Axial slice | Image width 240 mm | Slice 61/155 | Head
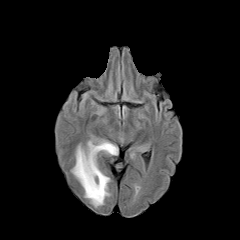
FLAIR MR.
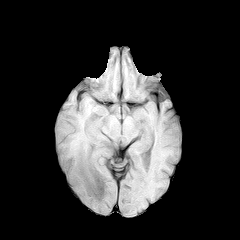
Same slice, T1-weighted magnetic resonance.
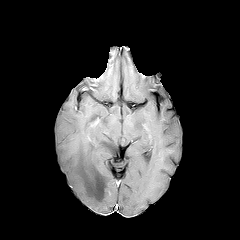
Same slice, post-contrast T1-weighted MR.
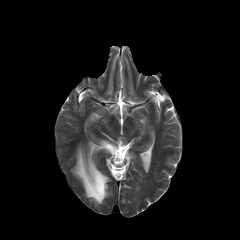
T2-weighted MR image.
peritumoral edema: left=72, top=140, right=117, bottom=206